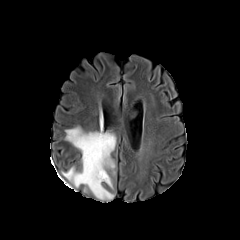
FLAIR magnetic resonance.
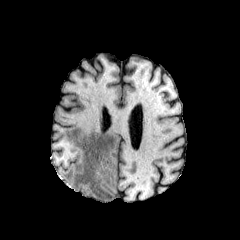
T1-weighted magnetic resonance.
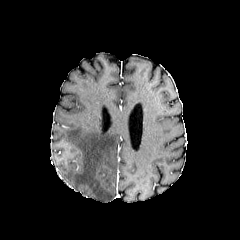
Same slice, post-contrast T1-weighted MRI.
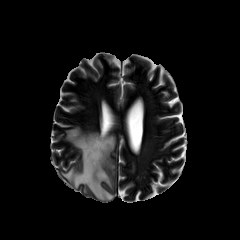
T2-weighted magnetic resonance of the same slice.
Brain, 240x240 px
The peritumoral edema appears at 62,127,116,200.